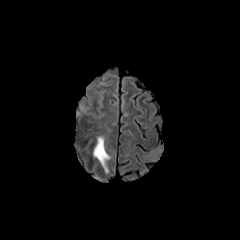
FLAIR MR image.
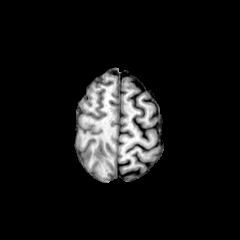
T1-weighted MRI of the same slice.
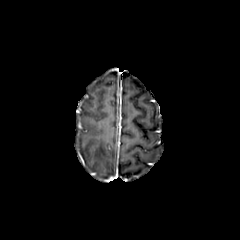
Post-contrast T1-weighted MR of the same slice.
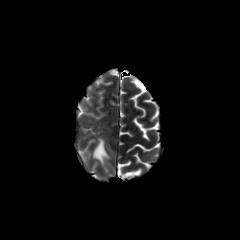
T2-weighted MR.
Brain. 240x240 px.
peritumoral edema: bounding box bbox=[93, 137, 109, 172]